Axial plane.
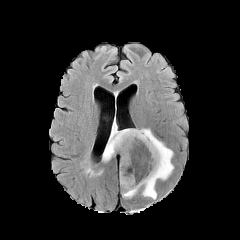
FLAIR magnetic resonance.
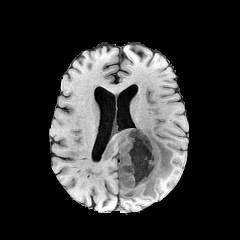
T1-weighted MRI.
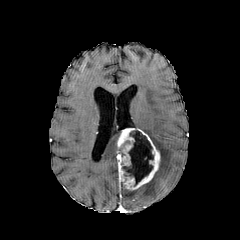
Same slice, post-contrast T1-weighted MRI.
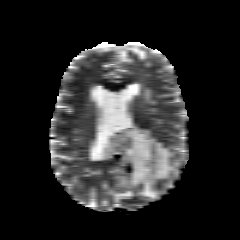
T2-weighted MR image.
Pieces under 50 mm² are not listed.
{
  "necrotic_tumor_core": [
    "(122,130,153,185)"
  ],
  "enhancing_tumor": [
    "(117,128,160,190)"
  ],
  "peritumoral_edema": [
    "(102,123,120,161)",
    "(122,188,139,198)",
    "(141,129,173,199)"
  ]
}